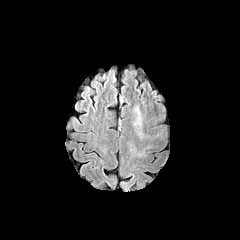
FLAIR MRI.
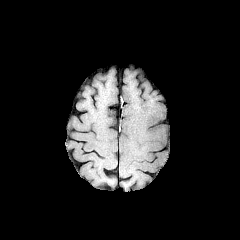
T1-weighted MR.
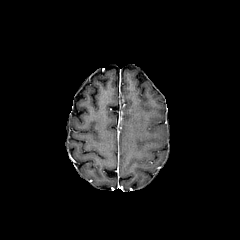
Post-contrast T1-weighted magnetic resonance.
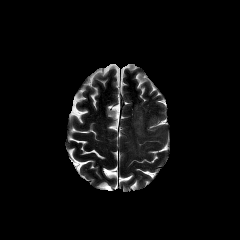
T2-weighted MRI of the same slice.
Head, Axial view
peritumoral edema: (133,106,143,138)